Image width 240 mm, 1.00 mm slice spacing | Axial view | Slice 89 of 155 | Brain
FLAIR MR.
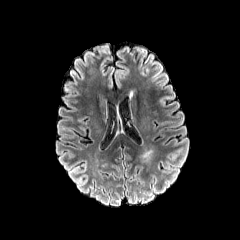
T1-weighted MR image.
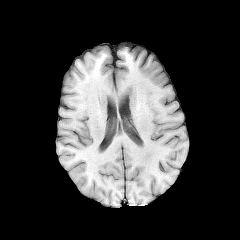
Post-contrast T1-weighted MR.
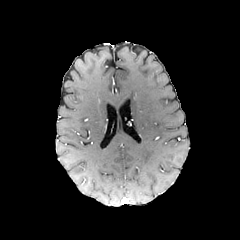
T2-weighted MRI.
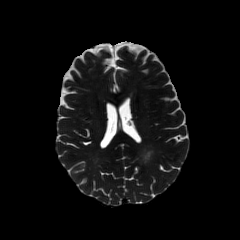
peritumoral edema — (x1=143, y1=151, x2=151, y2=159)